Brain | 240x240
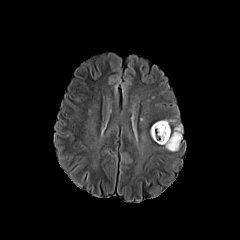
FLAIR MR.
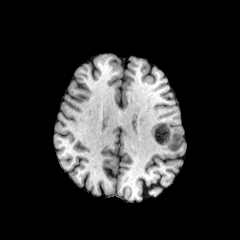
Same slice, T1-weighted MR image.
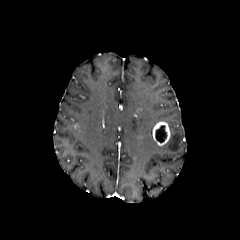
Post-contrast T1-weighted MR image.
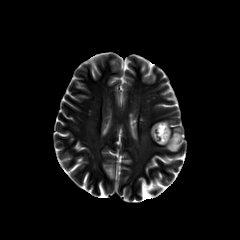
Same slice, T2-weighted MR image.
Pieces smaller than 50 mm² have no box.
{"necrotic_tumor_core": ["155,125,167,142"], "enhancing_tumor": ["152,121,170,145"], "peritumoral_edema": ["165,126,183,151"]}